Axial slice
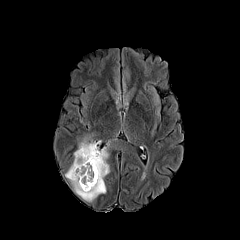
FLAIR magnetic resonance.
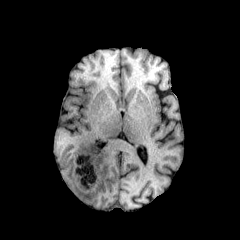
T1-weighted MR image.
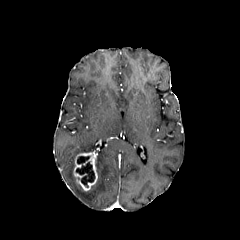
Post-contrast T1-weighted MR.
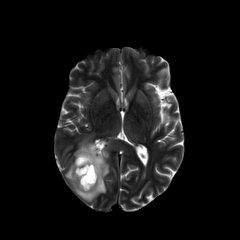
T2-weighted MR of the same slice.
- enhancing tumor: x1=73 y1=151 x2=97 y2=191
- necrotic tumor core: x1=76 y1=156 x2=94 y2=187
- peritumoral edema: x1=65 y1=135 x2=110 y2=201